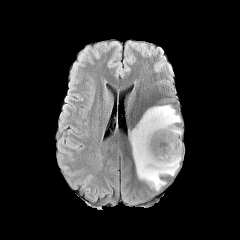
FLAIR magnetic resonance.
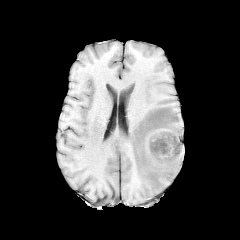
Same slice, T1-weighted MR.
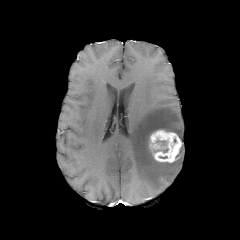
Post-contrast T1-weighted MR.
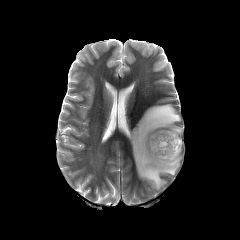
T2-weighted MRI of the same slice.
Image size 240x240
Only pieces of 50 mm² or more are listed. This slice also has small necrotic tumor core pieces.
enhancing tumor — [149,130,182,162]
peritumoral edema — [129,104,182,190]